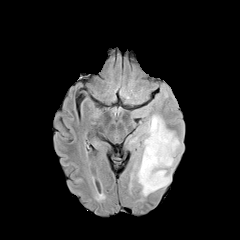
FLAIR MRI.
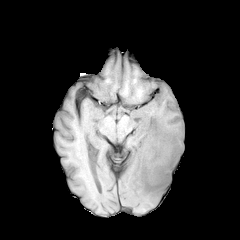
T1-weighted magnetic resonance.
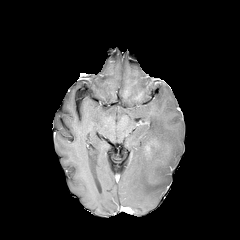
Same slice, post-contrast T1-weighted magnetic resonance.
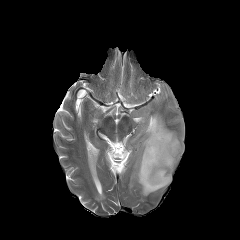
T2-weighted MRI.
Axial plane | Brain | Image size 240x240
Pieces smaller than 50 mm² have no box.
The largest peritumoral edema region appears at {"x1": 129, "y1": 114, "x2": 182, "y2": 196}.